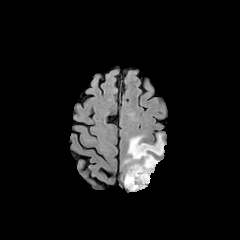
FLAIR MR.
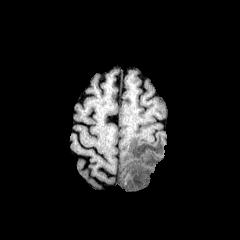
T1-weighted magnetic resonance of the same slice.
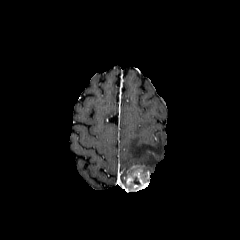
Post-contrast T1-weighted MR image.
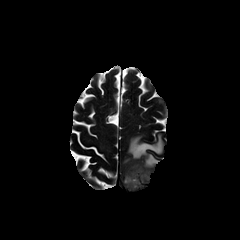
T2-weighted magnetic resonance.
Brain. Image size 240x240.
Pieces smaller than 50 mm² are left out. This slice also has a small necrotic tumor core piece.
The largest peritumoral edema region is at (124,134,164,171). The enhancing tumor appears at (125,165,150,191).